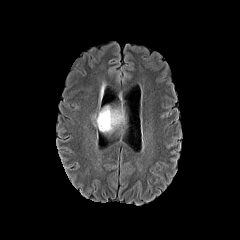
FLAIR MR image.
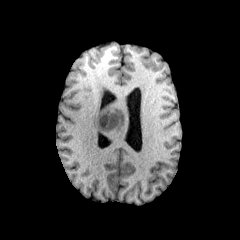
T1-weighted magnetic resonance.
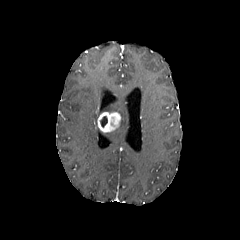
Post-contrast T1-weighted magnetic resonance.
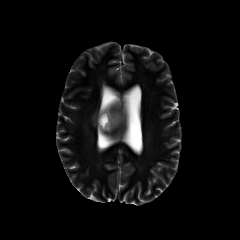
Same slice, T2-weighted MRI.
240x240; Axial slice; Brain
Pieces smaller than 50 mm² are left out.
{"peritumoral_edema": ["<bbox>98, 106, 124, 126</bbox>"], "enhancing_tumor": ["<bbox>97, 112, 120, 132</bbox>"], "necrotic_tumor_core": ["<bbox>100, 116, 107, 127</bbox>"]}